Brain, 240x240 px, Slice index 64, Image width 240 mm
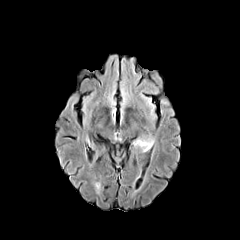
FLAIR MR image.
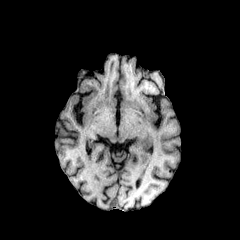
Same slice, T1-weighted MR.
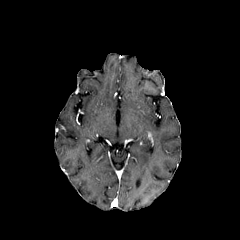
Post-contrast T1-weighted MR of the same slice.
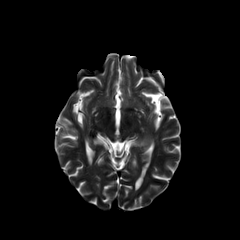
Same slice, T2-weighted magnetic resonance.
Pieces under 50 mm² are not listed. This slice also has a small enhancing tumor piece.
peritumoral_edema:
  - (133, 139, 152, 151)